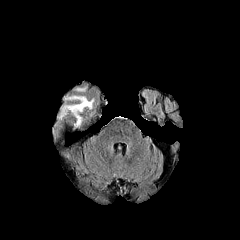
FLAIR MRI.
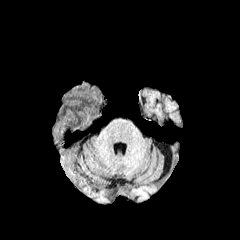
T1-weighted magnetic resonance.
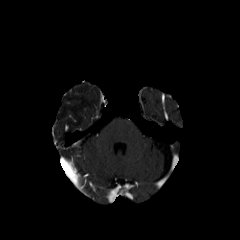
Post-contrast T1-weighted MR of the same slice.
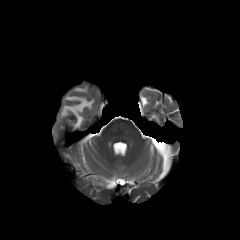
T2-weighted MR.
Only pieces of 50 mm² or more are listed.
{
  "peritumoral_edema": [
    "(59,96,93,126)"
  ]
}